Axial slice | Slice index 40
FLAIR MRI.
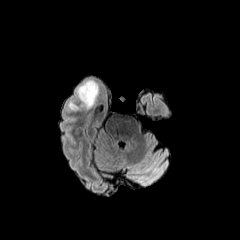
T1-weighted magnetic resonance.
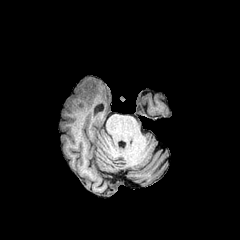
Post-contrast T1-weighted MR.
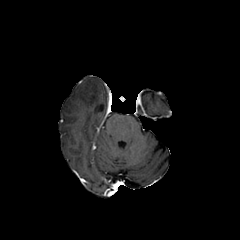
T2-weighted MRI.
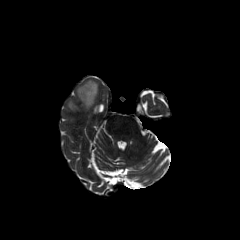
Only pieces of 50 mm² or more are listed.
{
  "peritumoral_edema": [
    "region(77, 80, 98, 108)"
  ]
}